FLAIR magnetic resonance.
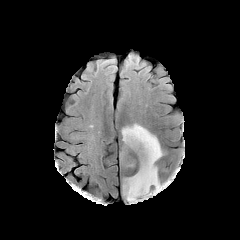
T1-weighted magnetic resonance.
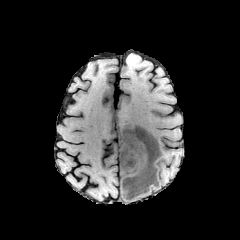
Post-contrast T1-weighted MR image.
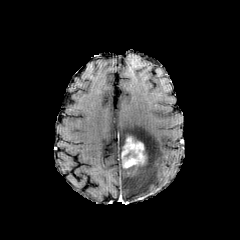
T2-weighted MR.
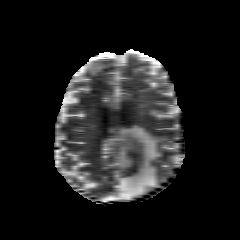
Axial slice, 240x240 px
The peritumoral edema is located at (121,124,162,200). The enhancing tumor lies within (121,136,146,167).